FLAIR MR image.
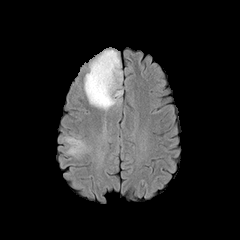
T1-weighted magnetic resonance.
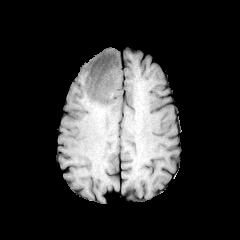
Post-contrast T1-weighted MR.
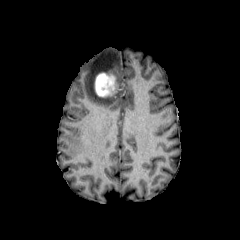
T2-weighted MR image.
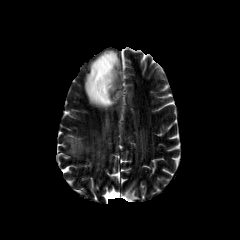
Axial plane. Brain.
enhancing tumor: rect(94, 72, 115, 97)
peritumoral edema: rect(84, 49, 122, 109)